Head. Image width 240 mm. 240x240 px.
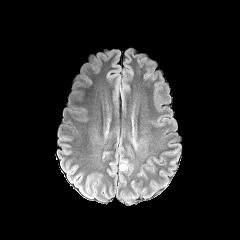
FLAIR MR image.
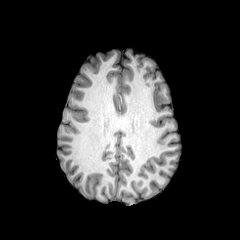
T1-weighted MRI of the same slice.
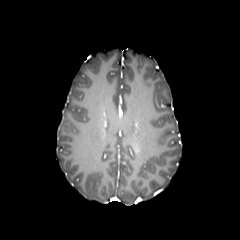
Post-contrast T1-weighted MRI.
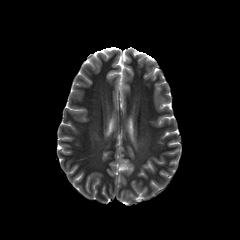
Same slice, T2-weighted MR.
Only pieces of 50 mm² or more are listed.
peritumoral edema at x1=132, y1=137, x2=138, y2=149